FLAIR MR image.
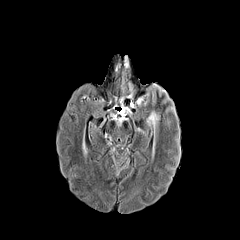
T1-weighted MR.
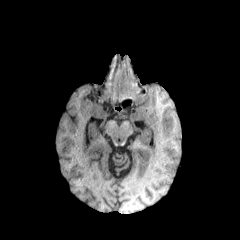
Post-contrast T1-weighted MR.
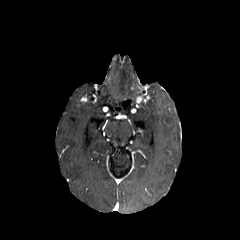
T2-weighted magnetic resonance.
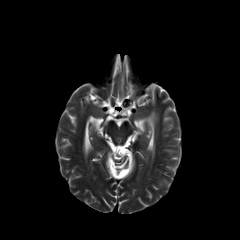
Axial slice.
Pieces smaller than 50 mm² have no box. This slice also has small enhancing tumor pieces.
peritumoral edema: box(146, 112, 158, 130)